Slice 91/155.
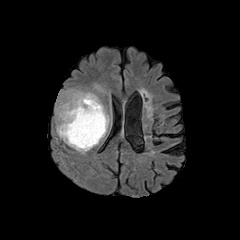
FLAIR MRI.
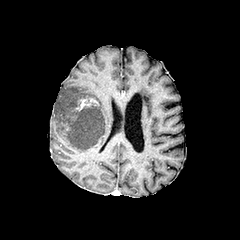
T1-weighted MRI of the same slice.
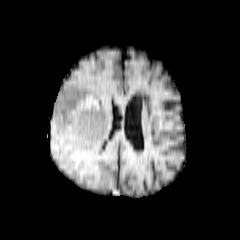
Same slice, post-contrast T1-weighted magnetic resonance.
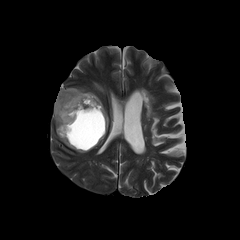
Same slice, T2-weighted MR.
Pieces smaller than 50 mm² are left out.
<segmentation>
  <necrotic_tumor_core>left=67, top=106, right=104, bottom=149</necrotic_tumor_core>
  <enhancing_tumor>left=73, top=95, right=99, bottom=118</enhancing_tumor>
  <peritumoral_edema>left=55, top=88, right=109, bottom=153; left=94, top=83, right=103, bottom=92</peritumoral_edema>
</segmentation>